Head, 240x240 px, Axial view
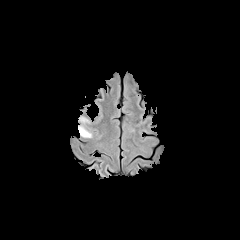
FLAIR magnetic resonance.
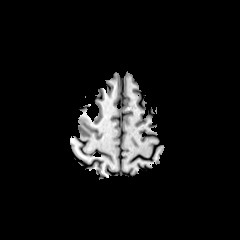
T1-weighted MR.
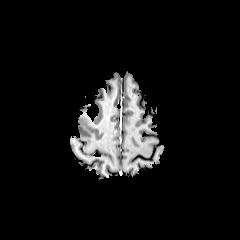
Post-contrast T1-weighted MRI of the same slice.
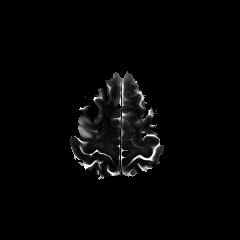
T2-weighted magnetic resonance of the same slice.
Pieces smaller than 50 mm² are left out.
peritumoral_edema:
  - 78, 125, 91, 137